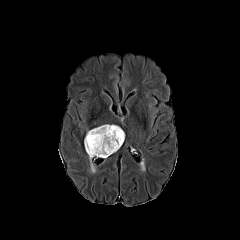
FLAIR MR image.
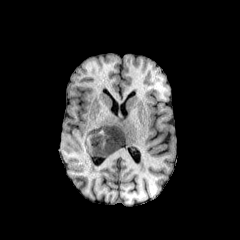
T1-weighted MR of the same slice.
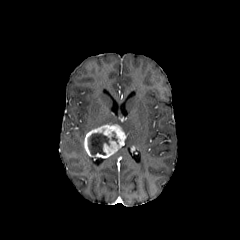
Same slice, post-contrast T1-weighted magnetic resonance.
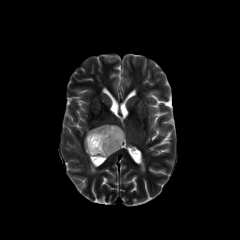
T2-weighted magnetic resonance.
Head.
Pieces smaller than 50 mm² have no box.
The enhancing tumor is located at 84 124 125 158. The largest necrotic tumor core region appears at 88 133 109 155. The largest peritumoral edema region is located at 88 155 96 173.